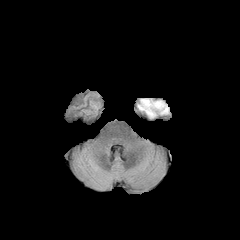
FLAIR MRI.
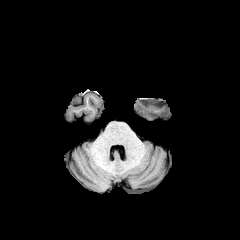
T1-weighted MR.
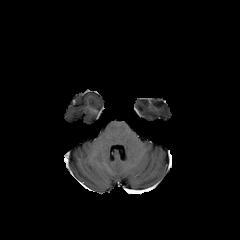
Post-contrast T1-weighted magnetic resonance.
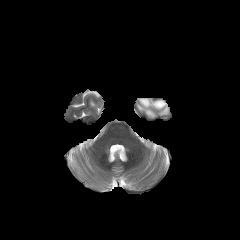
T2-weighted MR image of the same slice.
240x240 px, Head
<segmentation>
  <peritumoral_edema>137,99,168,117</peritumoral_edema>
</segmentation>